Slice 95/155.
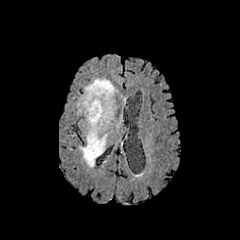
FLAIR MR.
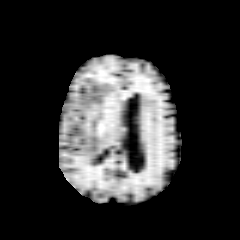
T1-weighted MR image.
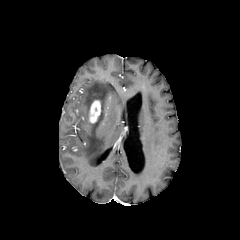
Post-contrast T1-weighted magnetic resonance of the same slice.
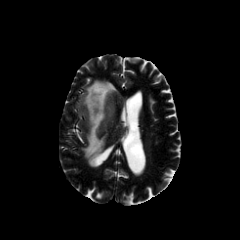
Same slice, T2-weighted MR.
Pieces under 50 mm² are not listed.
Segmented structures:
• peritumoral edema: region(77, 79, 118, 166)
• enhancing tumor: region(89, 100, 101, 123)